FLAIR MR.
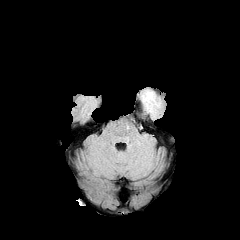
T1-weighted MR.
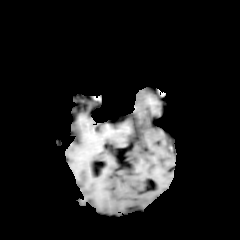
Post-contrast T1-weighted MRI.
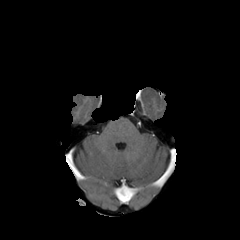
T2-weighted MR image.
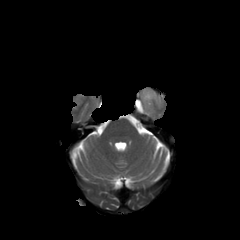
Axial plane
peritumoral edema = box(140, 88, 161, 114)